Slice 84 of 155, Brain
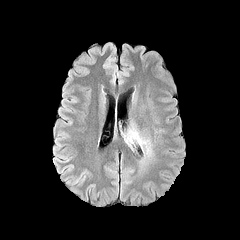
FLAIR MR image.
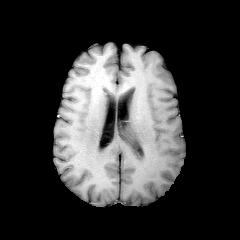
T1-weighted MR image.
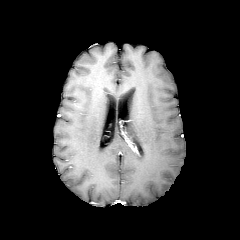
Post-contrast T1-weighted MR image.
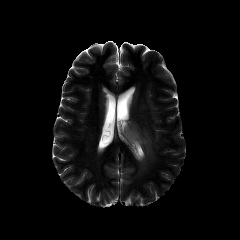
T2-weighted MR of the same slice.
The peritumoral edema is at [126,122,152,161].